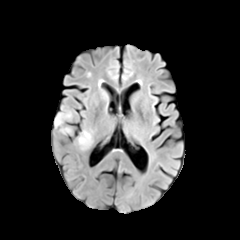
FLAIR magnetic resonance.
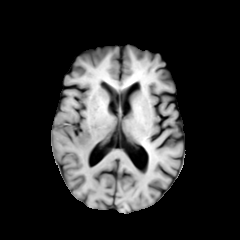
T1-weighted MR image.
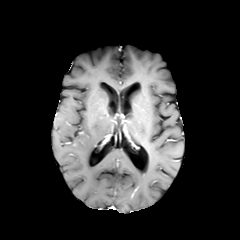
Post-contrast T1-weighted magnetic resonance of the same slice.
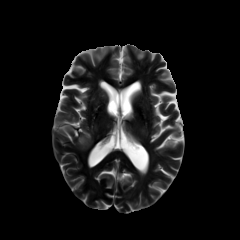
T2-weighted MR image.
Head
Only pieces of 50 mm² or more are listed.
The 2 largest peritumoral edema regions are bounded by bbox(55, 116, 70, 132); bbox(78, 130, 92, 149).